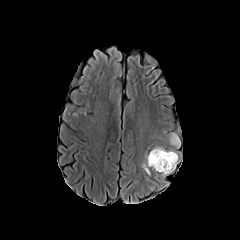
FLAIR MR image.
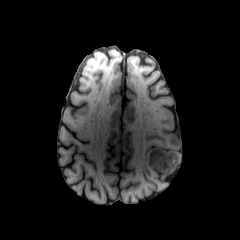
Same slice, T1-weighted MRI.
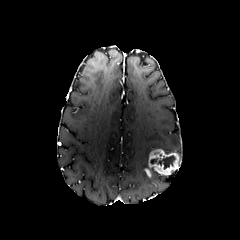
Post-contrast T1-weighted MR image.
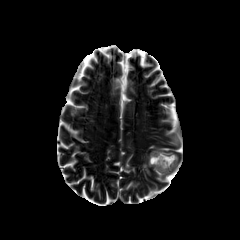
T2-weighted MR.
Brain
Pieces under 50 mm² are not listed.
Annotated regions:
• enhancing tumor: <bbox>148, 149, 179, 175</bbox>
• peritumoral edema: <bbox>141, 151, 148, 169</bbox>, <bbox>168, 132, 180, 148</bbox>
• necrotic tumor core: <bbox>150, 155, 175, 169</bbox>